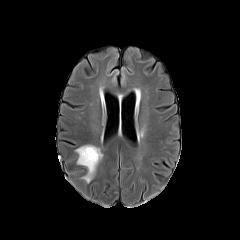
FLAIR MRI.
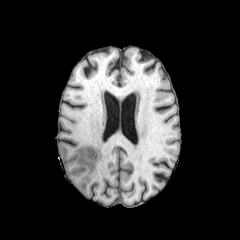
T1-weighted magnetic resonance.
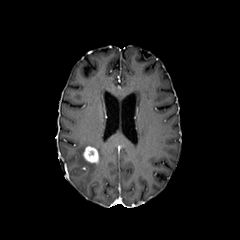
Same slice, post-contrast T1-weighted magnetic resonance.
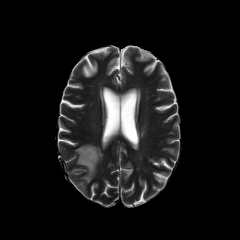
T2-weighted MR image of the same slice.
peritumoral edema: bounding box 75 145 102 183
enhancing tumor: bounding box 83 146 98 163